Slice 85/155, Brain, Axial plane
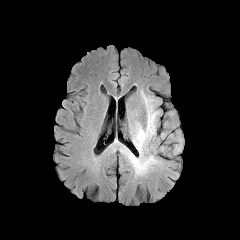
FLAIR MR.
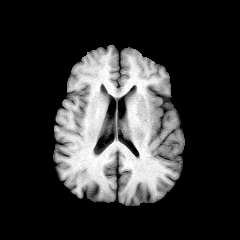
T1-weighted magnetic resonance.
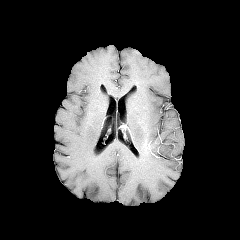
Post-contrast T1-weighted magnetic resonance of the same slice.
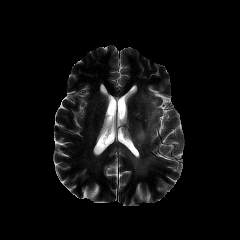
T2-weighted magnetic resonance of the same slice.
peritumoral edema: box(129, 95, 160, 172)